Brain; Image width 240 mm; Axial slice
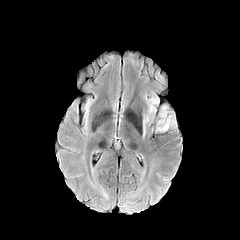
FLAIR MRI.
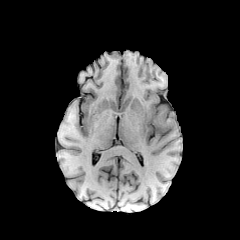
T1-weighted MR of the same slice.
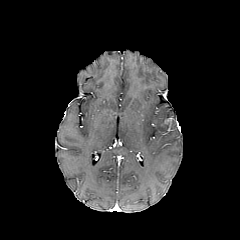
Post-contrast T1-weighted MR image.
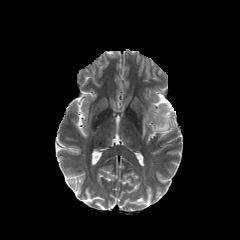
T2-weighted MR.
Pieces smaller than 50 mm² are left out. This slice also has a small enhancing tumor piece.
peritumoral edema = bbox=[156, 106, 176, 131]; bbox=[143, 115, 149, 137]